Slice 52 of 155
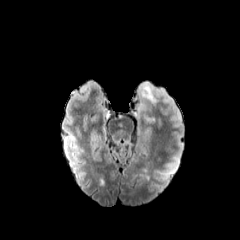
FLAIR MR.
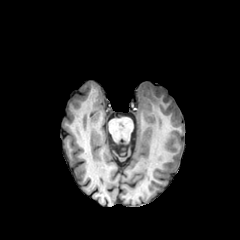
T1-weighted MRI of the same slice.
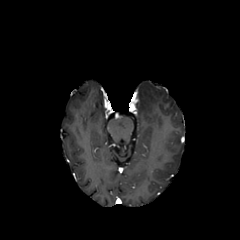
Same slice, post-contrast T1-weighted magnetic resonance.
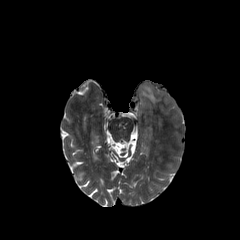
T2-weighted MR image.
peritumoral edema: bounding box 137,81,177,116